Slice 72/155. 240x240.
FLAIR MRI.
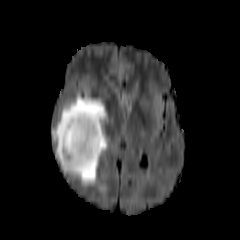
T1-weighted MR image.
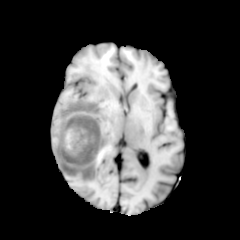
Post-contrast T1-weighted MR image.
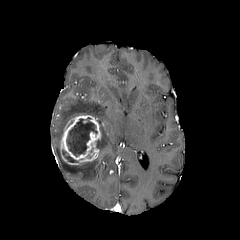
T2-weighted MRI.
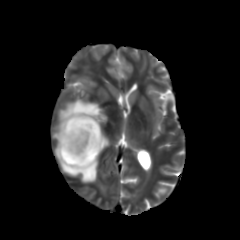
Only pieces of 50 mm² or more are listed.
The enhancing tumor is located at region(59, 113, 101, 165). The 2 largest necrotic tumor core regions are bounded by region(66, 119, 97, 156); region(62, 150, 78, 162). 3 peritumoral edema regions are located at region(55, 147, 98, 184); region(99, 122, 108, 156); region(51, 95, 107, 141).